FLAIR MRI.
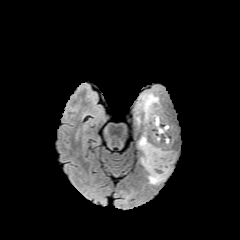
T1-weighted MRI.
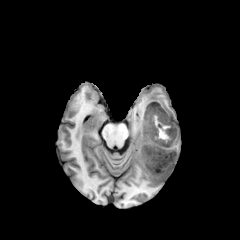
Post-contrast T1-weighted MRI.
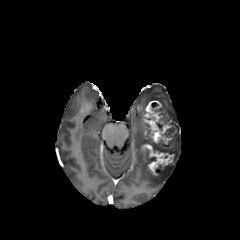
T2-weighted MR.
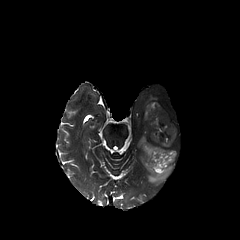
Axial plane; Head; 240x240 px
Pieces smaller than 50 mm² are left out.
Segmented structures:
* enhancing tumor: <bbox>142, 101, 175, 175</bbox>
* necrotic tumor core: <bbox>161, 127, 173, 137</bbox>, <bbox>146, 123, 172, 154</bbox>, <bbox>151, 102, 170, 131</bbox>
* peritumoral edema: <bbox>140, 154, 172, 184</bbox>, <bbox>138, 135, 147, 149</bbox>, <bbox>142, 94, 158, 112</bbox>